Head; 240x240 px; Slice index 72
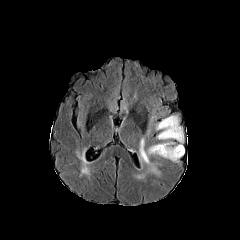
FLAIR magnetic resonance.
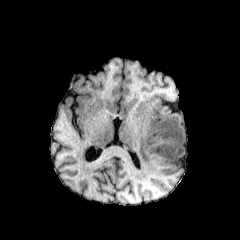
Same slice, T1-weighted MR image.
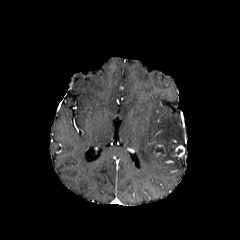
Same slice, post-contrast T1-weighted magnetic resonance.
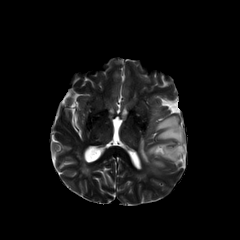
T2-weighted MRI.
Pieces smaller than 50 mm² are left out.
peritumoral edema at 155 115 183 162, 139 138 161 174
enhancing tumor at 171 145 184 157
necrotic tumor core at 154 147 166 153